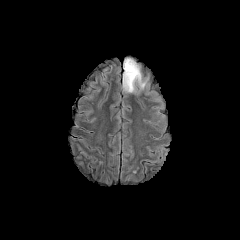
FLAIR MR image.
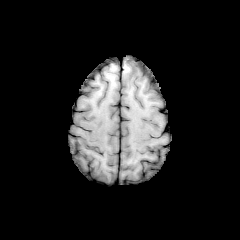
Same slice, T1-weighted MRI.
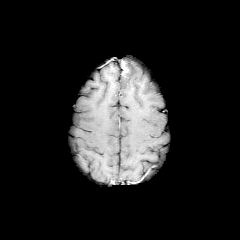
Same slice, post-contrast T1-weighted MRI.
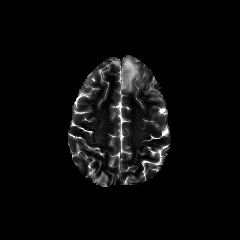
T2-weighted MR of the same slice.
Brain; Axial plane; 240x240 px
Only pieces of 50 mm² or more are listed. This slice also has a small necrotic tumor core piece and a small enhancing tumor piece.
peritumoral edema = region(122, 58, 146, 92)